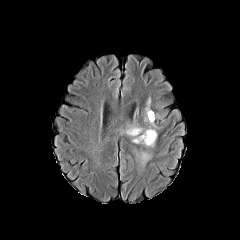
FLAIR magnetic resonance.
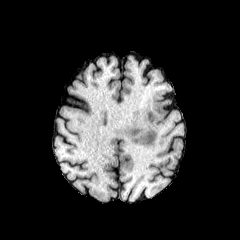
T1-weighted MRI.
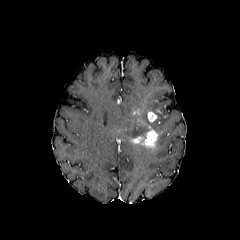
Same slice, post-contrast T1-weighted MR image.
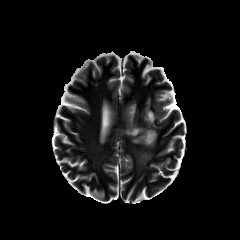
Same slice, T2-weighted MR image.
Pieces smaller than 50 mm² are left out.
peritumoral edema at (144,96,162,130), (134,150,151,171), (118,121,148,138)
enhancing tumor at (131,126,157,147), (147,111,157,122)